Image width 240 mm, 1.00 mm slice spacing
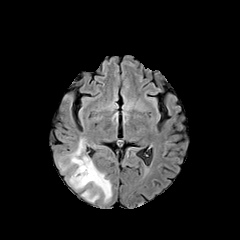
FLAIR magnetic resonance.
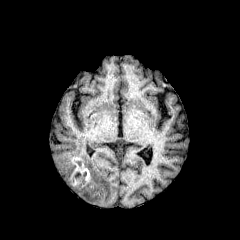
T1-weighted MR image.
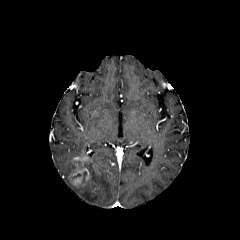
Same slice, post-contrast T1-weighted MR image.
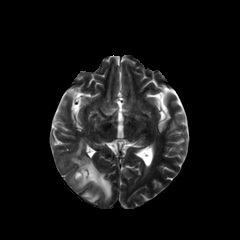
Same slice, T2-weighted magnetic resonance.
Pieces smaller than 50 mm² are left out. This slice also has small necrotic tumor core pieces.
2 enhancing tumor regions are located at <bbox>72, 168, 84, 184</bbox>, <bbox>73, 155, 91, 166</bbox>. The 3 largest peritumoral edema regions appear at <bbox>68, 138, 85, 169</bbox>, <bbox>82, 190, 99, 202</bbox>, <bbox>69, 161, 111, 202</bbox>.